FLAIR MR.
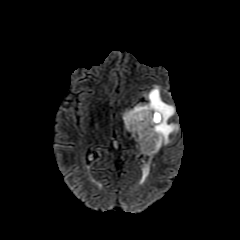
T1-weighted MR.
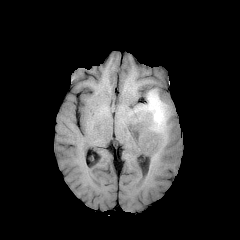
Post-contrast T1-weighted MR.
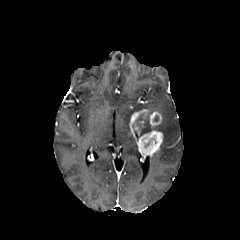
T2-weighted MR image.
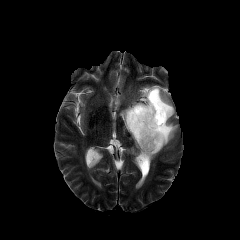
240x240 px.
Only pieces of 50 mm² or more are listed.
- enhancing tumor: rect(149, 111, 162, 127); rect(129, 109, 163, 156)
- necrotic tumor core: rect(135, 114, 143, 129)
- peritumoral edema: rect(121, 85, 178, 149)